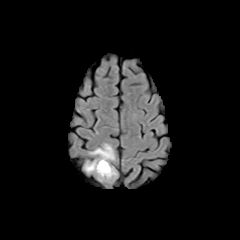
FLAIR magnetic resonance.
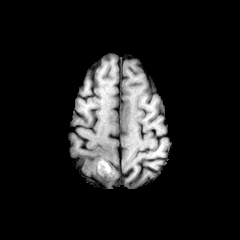
T1-weighted MR.
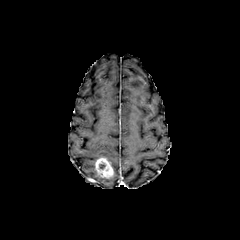
Same slice, post-contrast T1-weighted MRI.
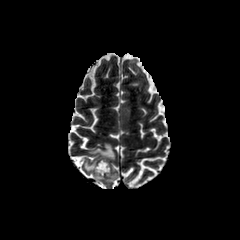
T2-weighted magnetic resonance.
Axial plane | Head
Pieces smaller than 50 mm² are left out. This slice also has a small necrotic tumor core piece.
peritumoral edema = <box>90,143,114,160</box>, <box>84,159,96,173</box>, <box>97,167,117,180</box>
enhancing tumor = <box>95,157,113,178</box>